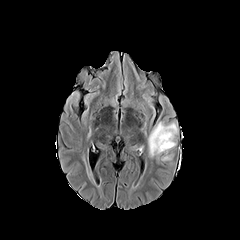
FLAIR magnetic resonance.
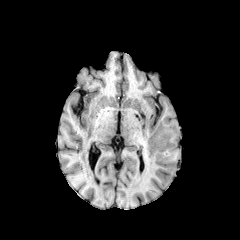
T1-weighted MR image of the same slice.
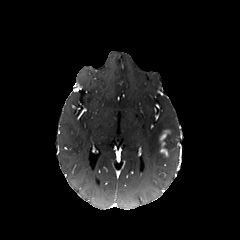
Same slice, post-contrast T1-weighted magnetic resonance.
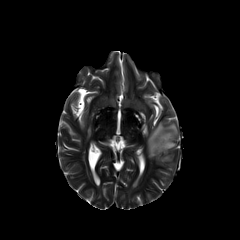
T2-weighted MRI of the same slice.
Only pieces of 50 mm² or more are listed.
Annotated regions:
• enhancing tumor: {"x1": 159, "y1": 130, "x2": 170, "y2": 157}
• peritumoral edema: {"x1": 148, "y1": 122, "x2": 178, "y2": 157}